FLAIR magnetic resonance.
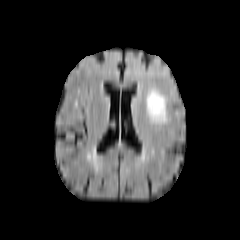
T1-weighted MR.
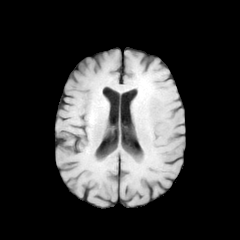
Post-contrast T1-weighted magnetic resonance.
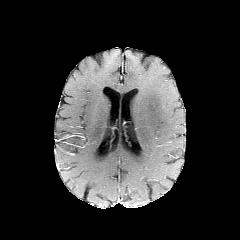
T2-weighted MR image.
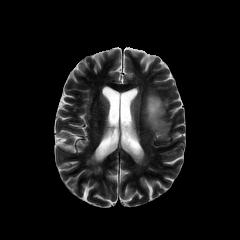
240x240 px. Axial view. Head.
peritumoral_edema:
  - bbox(146, 89, 166, 127)